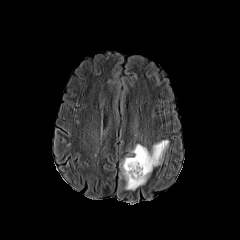
FLAIR MR.
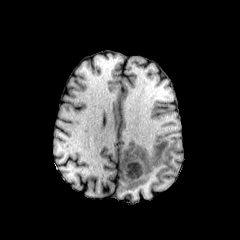
T1-weighted MRI.
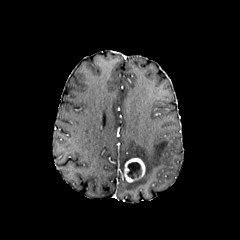
Post-contrast T1-weighted MRI.
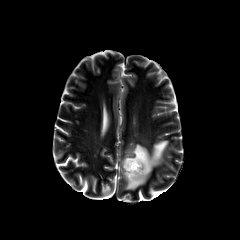
T2-weighted MR image.
Head
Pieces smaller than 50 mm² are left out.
<segmentation>
  <peritumoral_edema>bbox(120, 140, 168, 190)</peritumoral_edema>
  <necrotic_tumor_core>bbox(127, 162, 141, 178)</necrotic_tumor_core>
  <enhancing_tumor>bbox(122, 158, 145, 182)</enhancing_tumor>
</segmentation>